Slice 107 of 155, Image width 240 mm, 1.00 mm slice spacing
FLAIR MRI.
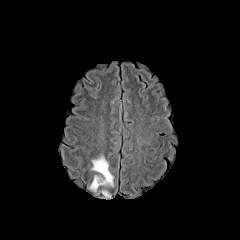
T1-weighted magnetic resonance.
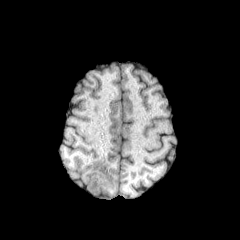
Post-contrast T1-weighted MRI.
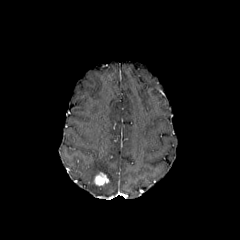
T2-weighted magnetic resonance.
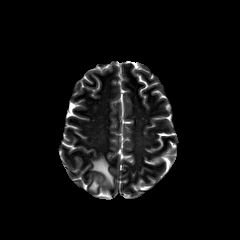
The enhancing tumor lies within box=[94, 172, 109, 185]. 3 peritumoral edema regions are bounded by box=[101, 189, 110, 196]; box=[91, 155, 114, 187]; box=[89, 179, 100, 192].